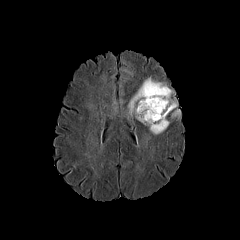
FLAIR MR.
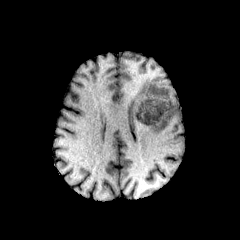
Same slice, T1-weighted MR.
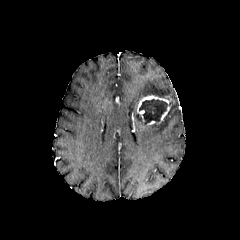
Same slice, post-contrast T1-weighted MR image.
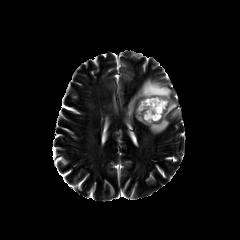
T2-weighted MR.
Axial plane, Brain
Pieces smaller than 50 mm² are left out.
peritumoral edema: 128:77:173:122, 169:98:180:118, 148:117:169:134 | enhancing tumor: 136:95:174:125 | necrotic tumor core: 139:99:167:124